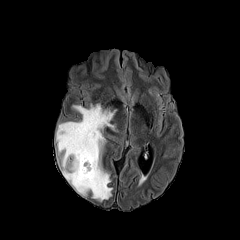
FLAIR MRI.
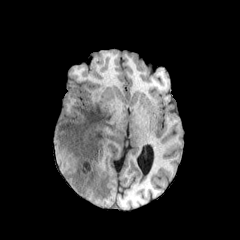
Same slice, T1-weighted MRI.
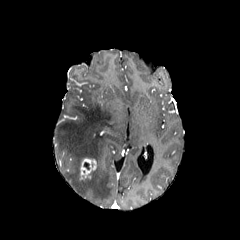
Same slice, post-contrast T1-weighted MR image.
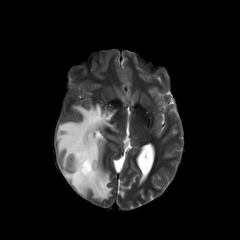
Same slice, T2-weighted magnetic resonance.
Brain; Axial plane; 240x240 px
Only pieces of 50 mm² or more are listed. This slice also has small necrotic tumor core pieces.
peritumoral edema: 56 104 115 201
enhancing tumor: 80 158 96 179